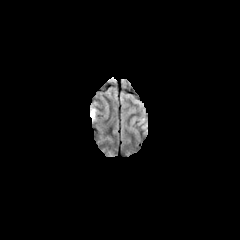
FLAIR MR.
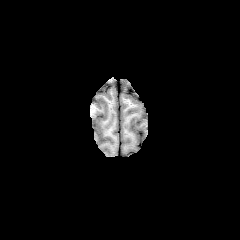
T1-weighted MRI.
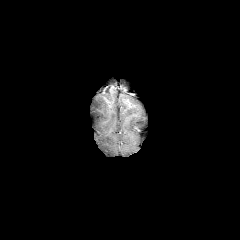
Post-contrast T1-weighted MR image of the same slice.
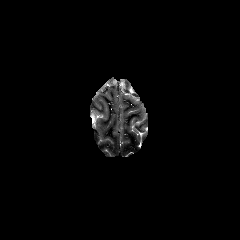
Same slice, T2-weighted MR image.
Head
peritumoral edema: box(90, 110, 95, 122)